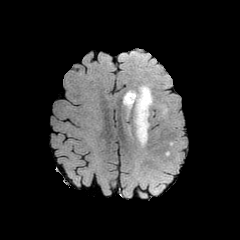
FLAIR MR image.
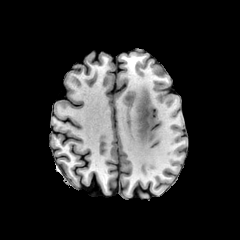
T1-weighted magnetic resonance of the same slice.
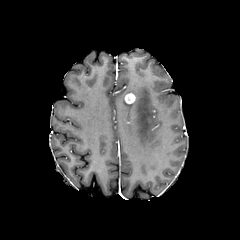
Post-contrast T1-weighted MRI.
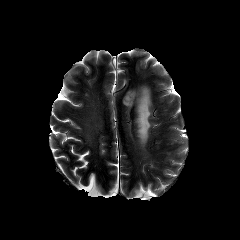
T2-weighted MR image.
Head; 240x240; Axial slice
enhancing tumor: (124,93,135,103) | peritumoral edema: (123,85,152,147)